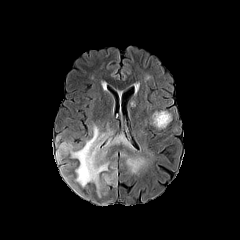
FLAIR MR image.
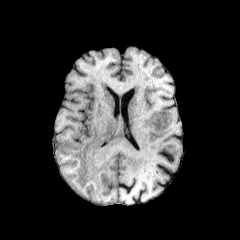
T1-weighted MR image.
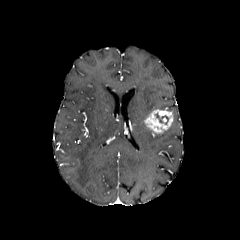
Post-contrast T1-weighted magnetic resonance of the same slice.
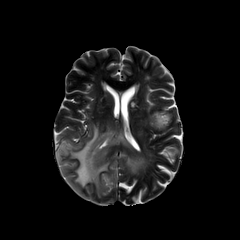
T2-weighted MR.
Brain | 240x240
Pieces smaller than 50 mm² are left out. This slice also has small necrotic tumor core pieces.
enhancing tumor: bounding box (left=144, top=109, right=172, bottom=133)
peritumoral edema: bounding box (left=126, top=157, right=146, bottom=173), (left=104, top=171, right=116, bottom=185), (left=56, top=125, right=132, bottom=197)